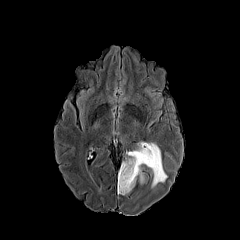
FLAIR magnetic resonance.
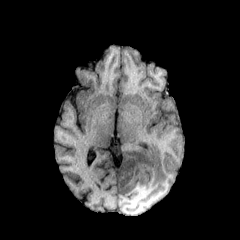
T1-weighted magnetic resonance of the same slice.
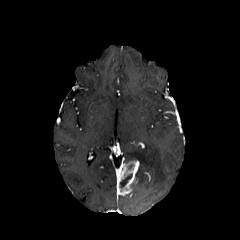
Post-contrast T1-weighted MRI.
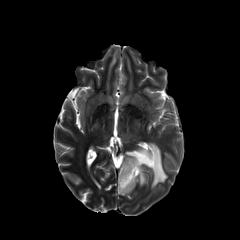
T2-weighted MRI of the same slice.
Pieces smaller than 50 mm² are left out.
The enhancing tumor is bounded by [117,160,139,195]. The peritumoral edema appears at [126,143,167,187]. The largest necrotic tumor core region is at [120,174,132,187].